FLAIR MR.
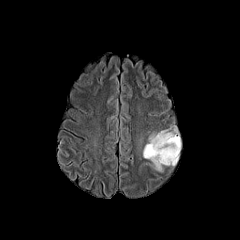
T1-weighted MR image.
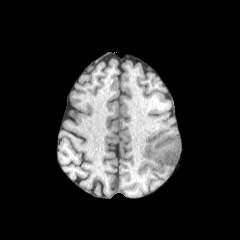
Post-contrast T1-weighted MR.
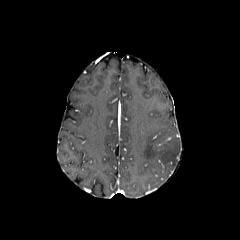
T2-weighted MRI.
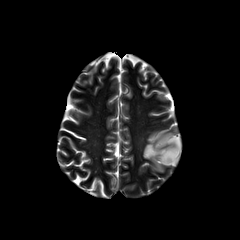
Head
peritumoral edema at bbox=[143, 129, 180, 171]